Slice 118/155 | Axial plane
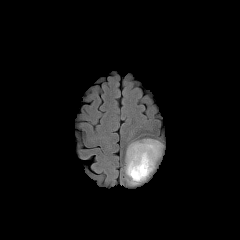
FLAIR MR image.
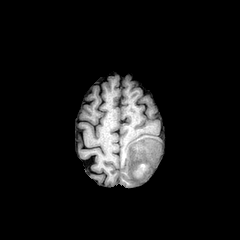
T1-weighted MR.
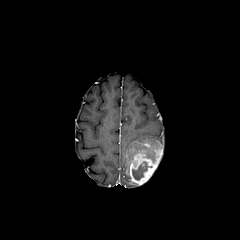
Post-contrast T1-weighted MR of the same slice.
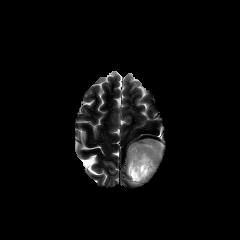
T2-weighted MRI.
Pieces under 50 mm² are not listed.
The enhancing tumor is bounded by bbox=[126, 143, 162, 184]. The largest peritumoral edema region is located at bbox=[125, 139, 160, 172]. 2 necrotic tumor core regions appear at bbox=[132, 162, 148, 180]; bbox=[147, 149, 154, 161].